FLAIR magnetic resonance.
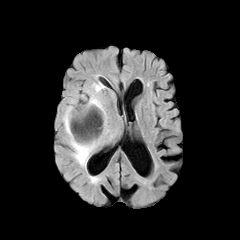
T1-weighted MRI.
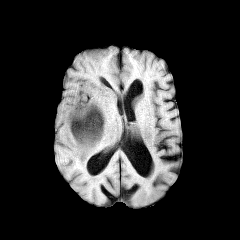
Post-contrast T1-weighted MR.
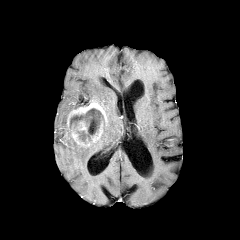
T2-weighted MR.
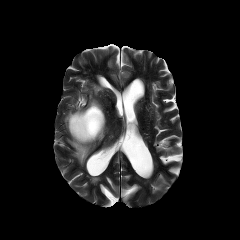
240x240 | Axial view
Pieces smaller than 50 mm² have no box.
enhancing_tumor:
  - 67,100,106,146
peritumoral_edema:
  - 63,83,109,165
necrotic_tumor_core:
  - 69,108,103,142